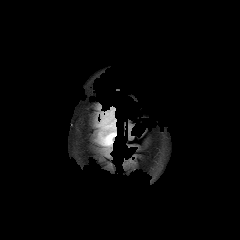
FLAIR magnetic resonance.
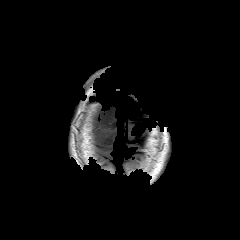
Same slice, T1-weighted MRI.
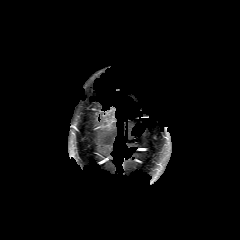
Same slice, post-contrast T1-weighted magnetic resonance.
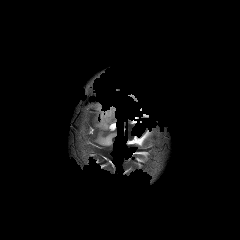
Same slice, T2-weighted MR image.
Axial view; Brain
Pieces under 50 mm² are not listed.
<segmentation>
  <peritumoral_edema>(x1=98, y1=112, x2=104, y2=126), (x1=99, y1=118, x2=116, y2=146)</peritumoral_edema>
  <enhancing_tumor>(x1=99, y1=108, x2=114, y2=128)</enhancing_tumor>
</segmentation>